FLAIR MR image.
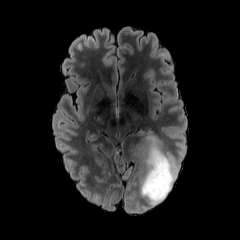
T1-weighted MR image.
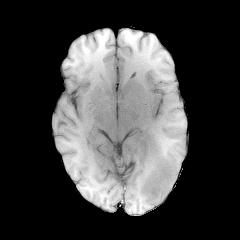
Post-contrast T1-weighted MRI.
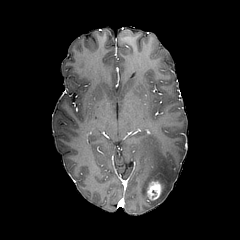
T2-weighted MR image.
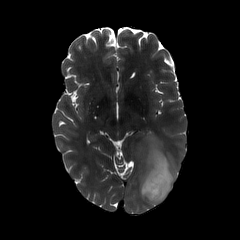
Brain; 240x240 px
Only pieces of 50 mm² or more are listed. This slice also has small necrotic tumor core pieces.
Segmented structures:
- enhancing tumor: rect(147, 181, 162, 200)
- peritumoral edema: rect(138, 135, 178, 205)